FLAIR magnetic resonance.
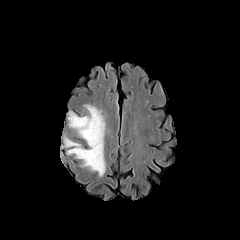
T1-weighted MR image.
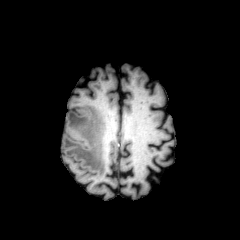
Post-contrast T1-weighted MR.
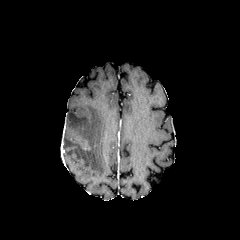
T2-weighted MR.
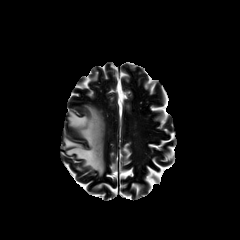
Axial plane, 240x240
peritumoral edema: bounding box bbox(64, 104, 105, 176)